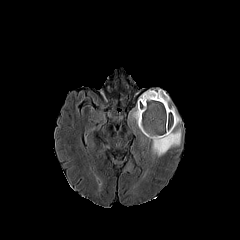
FLAIR MRI.
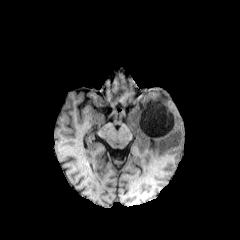
Same slice, T1-weighted magnetic resonance.
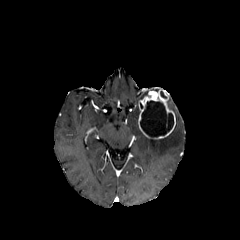
Same slice, post-contrast T1-weighted magnetic resonance.
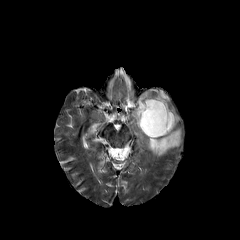
Same slice, T2-weighted MRI.
Brain. Axial plane. 240x240 px.
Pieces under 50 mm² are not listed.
necrotic tumor core at (140,101,173,137)
peritumoral edema at (145,127,181,156), (128,91,148,124), (170,105,181,127)
enhancing tumor at (138,89,175,139)